FLAIR magnetic resonance.
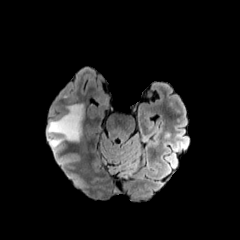
T1-weighted MR image.
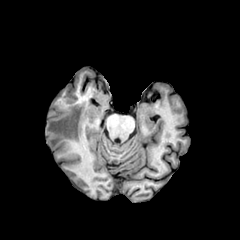
Post-contrast T1-weighted MR.
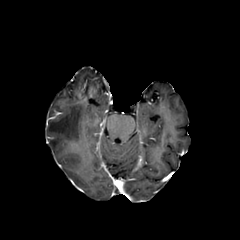
T2-weighted MR image.
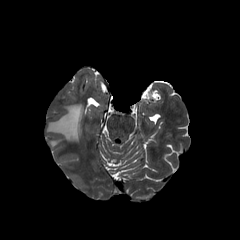
The peritumoral edema is at bbox=[47, 104, 83, 149].